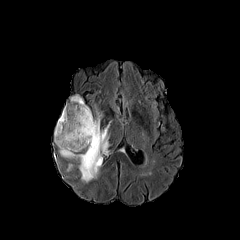
FLAIR magnetic resonance.
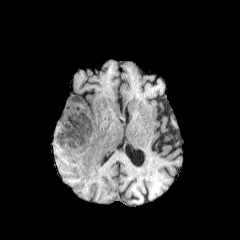
T1-weighted MR image of the same slice.
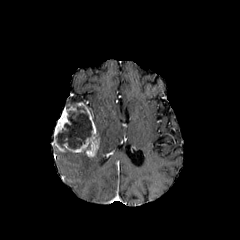
Same slice, post-contrast T1-weighted MR.
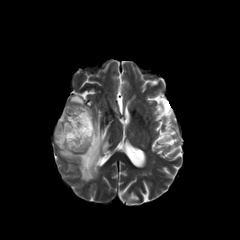
Same slice, T2-weighted MR image.
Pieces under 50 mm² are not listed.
The largest necrotic tumor core region is bounded by [56,106,92,149]. The 2 largest peritumoral edema regions appear at [70,94,83,102], [59,114,109,182]. The 2 largest enhancing tumor regions are bounded by [63,102,99,157], [53,105,76,151].